Image width 240 mm, 1.00 mm slice spacing | Head
FLAIR MR image.
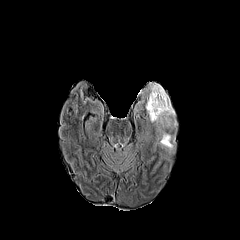
T1-weighted magnetic resonance.
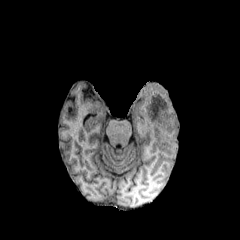
Post-contrast T1-weighted magnetic resonance.
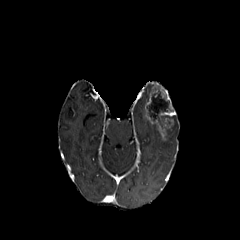
T2-weighted MR image.
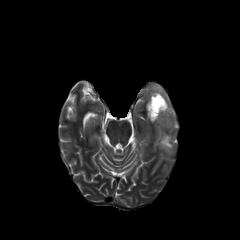
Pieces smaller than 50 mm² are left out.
Segmented structures:
* necrotic tumor core: <box>147,90,169,127</box>
* peritumoral edema: <box>158,133,175,153</box>, <box>161,116,177,128</box>
* enhancing tumor: <box>145,83,176,139</box>